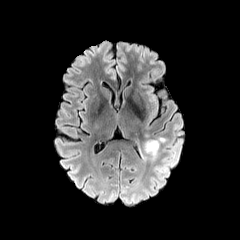
FLAIR MRI.
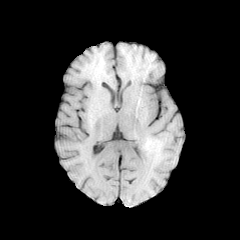
T1-weighted MR image of the same slice.
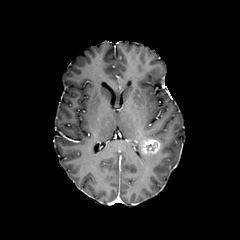
Post-contrast T1-weighted MR image.
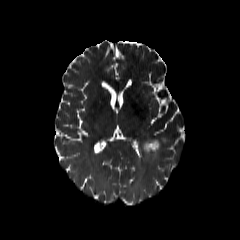
T2-weighted MR.
240x240 px.
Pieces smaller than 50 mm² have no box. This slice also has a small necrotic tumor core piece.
The largest peritumoral edema region appears at left=142, top=152, right=158, bottom=160. The enhancing tumor appears at left=139, top=139, right=160, bottom=155.